FLAIR MR image.
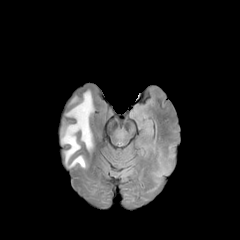
T1-weighted MRI.
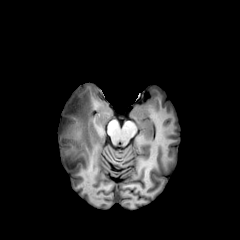
Post-contrast T1-weighted MR image.
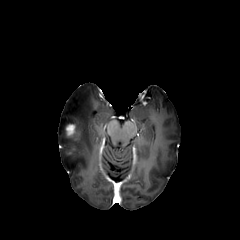
T2-weighted magnetic resonance.
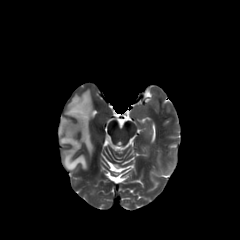
Head
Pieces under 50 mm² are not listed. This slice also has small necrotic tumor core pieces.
<segmentation>
  <enhancing_tumor>x1=65 y1=124 x2=76 y2=136</enhancing_tumor>
  <peritumoral_edema>x1=67 y1=91 x2=93 y2=151, x1=61 y1=127 x2=86 y2=168</peritumoral_edema>
</segmentation>